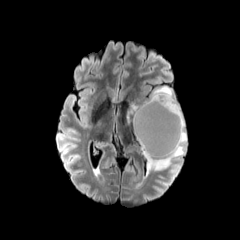
FLAIR MR.
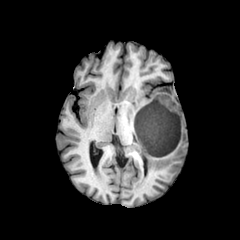
T1-weighted magnetic resonance.
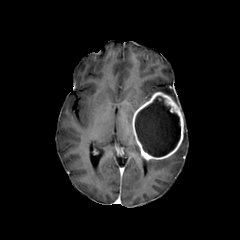
Post-contrast T1-weighted MR.
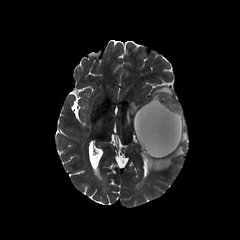
T2-weighted MR.
Brain, 240x240 px, Axial plane
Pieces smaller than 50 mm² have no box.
The necrotic tumor core is located at box(135, 96, 180, 157). The largest enhancing tumor region is at box(132, 92, 183, 160). 3 peritumoral edema regions are bounded by box(147, 118, 187, 171); box(126, 99, 148, 123); box(149, 86, 179, 105).